FLAIR MR.
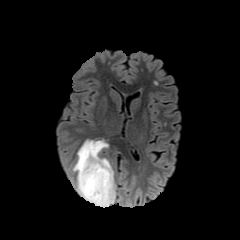
T1-weighted MR image.
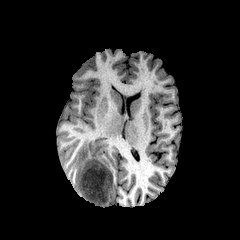
Post-contrast T1-weighted MR.
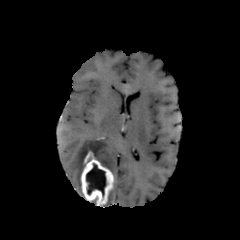
T2-weighted MRI.
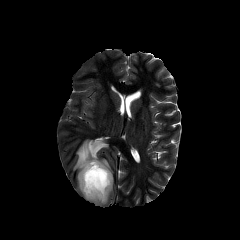
Head
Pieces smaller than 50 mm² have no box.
peritumoral edema — <bbox>73, 139, 113, 196</bbox>, <bbox>103, 179, 115, 207</bbox>
necrotic tumor core — <bbox>86, 162, 106, 196</bbox>
enhancing tumor — <bbox>80, 151, 113, 206</bbox>